Axial slice
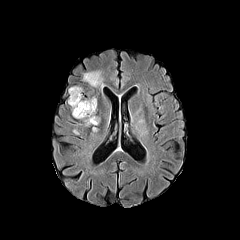
FLAIR MRI.
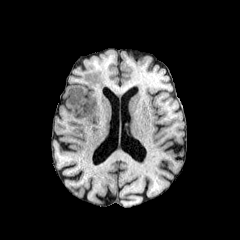
T1-weighted MR.
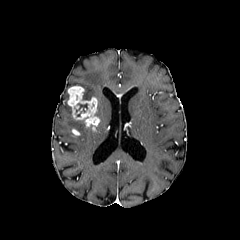
Post-contrast T1-weighted magnetic resonance.
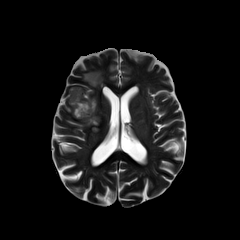
T2-weighted MR image.
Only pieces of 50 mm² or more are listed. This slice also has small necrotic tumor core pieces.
{"enhancing_tumor": ["bbox=[67, 86, 99, 131]"], "peritumoral_edema": ["bbox=[83, 71, 103, 87]"]}